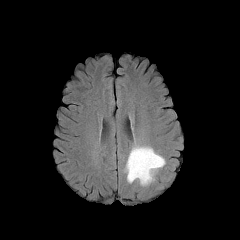
FLAIR MR image.
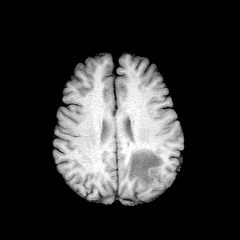
Same slice, T1-weighted magnetic resonance.
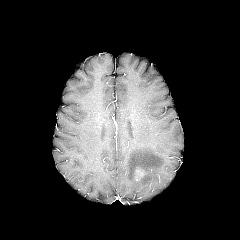
Same slice, post-contrast T1-weighted MR image.
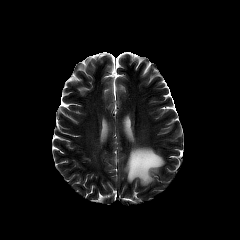
T2-weighted magnetic resonance of the same slice.
Brain, Image size 240x240
enhancing tumor: rect(135, 168, 145, 179)
peritumoral edema: rect(124, 145, 165, 186)